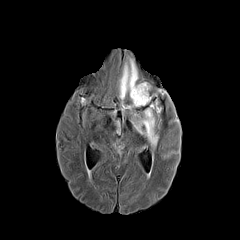
FLAIR magnetic resonance.
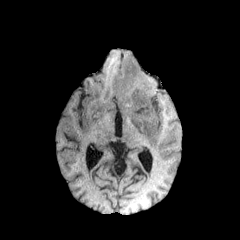
T1-weighted MRI.
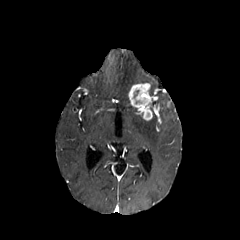
Same slice, post-contrast T1-weighted MR image.
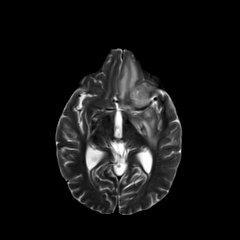
T2-weighted MRI of the same slice.
Axial view | Brain
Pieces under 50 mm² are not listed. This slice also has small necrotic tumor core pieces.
<segmentation>
  <peritumoral_edema>rect(119, 56, 138, 101); rect(122, 105, 158, 148)</peritumoral_edema>
  <enhancing_tumor>rect(128, 83, 153, 120)</enhancing_tumor>
</segmentation>